FLAIR MR.
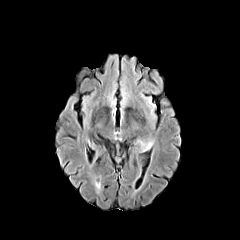
T1-weighted MRI.
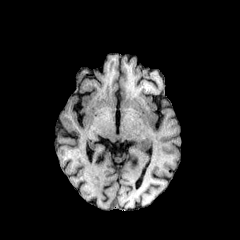
Post-contrast T1-weighted MR.
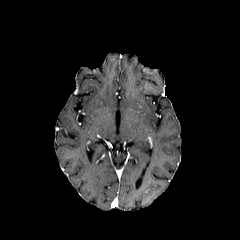
T2-weighted magnetic resonance.
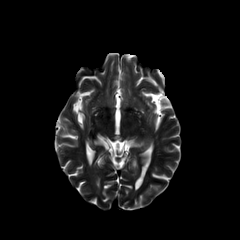
Axial plane
peritumoral_edema:
  - 137, 140, 152, 151